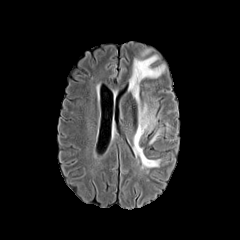
FLAIR MR image.
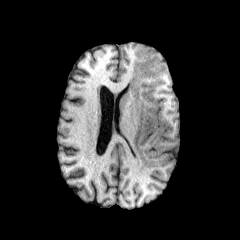
Same slice, T1-weighted MR.
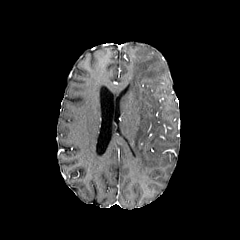
Post-contrast T1-weighted magnetic resonance.
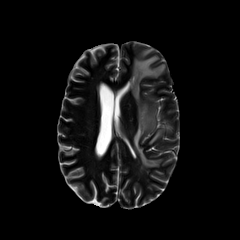
T2-weighted MRI.
Brain. Image size 240x240.
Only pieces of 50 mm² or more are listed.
peritumoral edema at (x1=129, y1=55, x2=165, y2=167), (x1=150, y1=130, x2=160, y2=143)